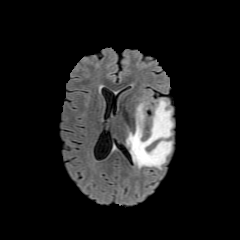
FLAIR magnetic resonance.
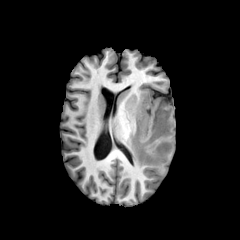
T1-weighted MR image of the same slice.
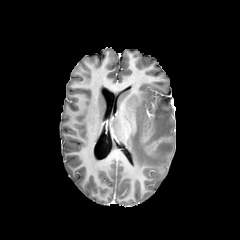
Post-contrast T1-weighted MR image.
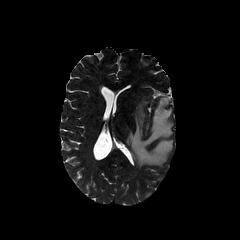
T2-weighted magnetic resonance.
Axial plane
• peritumoral edema: box(126, 98, 173, 168)